Image size 240x240. Image width 240 mm. Head.
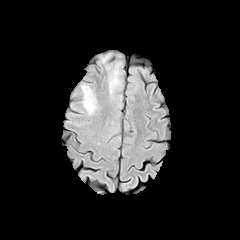
FLAIR MRI.
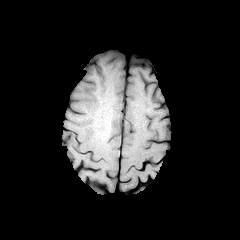
Same slice, T1-weighted MR.
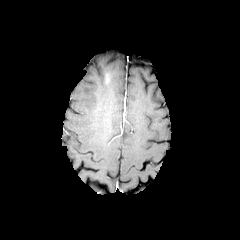
Post-contrast T1-weighted magnetic resonance.
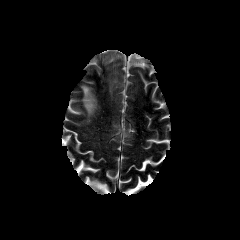
Same slice, T2-weighted magnetic resonance.
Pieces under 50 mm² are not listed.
Annotated regions:
• peritumoral edema: <bbox>109, 69, 120, 93</bbox>, <bbox>81, 84, 96, 115</bbox>